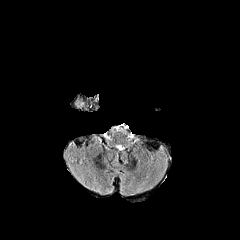
FLAIR MRI.
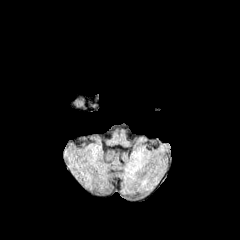
T1-weighted MR image of the same slice.
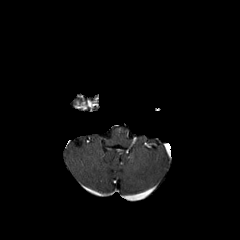
Post-contrast T1-weighted MR.
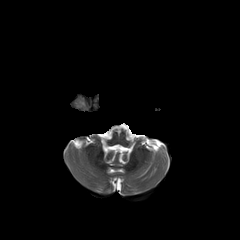
T2-weighted MR image.
Axial view | 240x240
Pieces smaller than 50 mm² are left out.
enhancing tumor at (left=75, top=101, right=94, bottom=108)